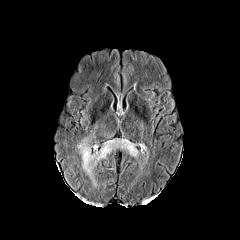
FLAIR magnetic resonance.
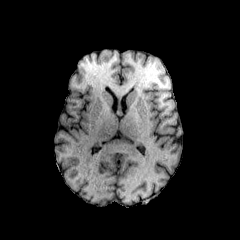
T1-weighted MR of the same slice.
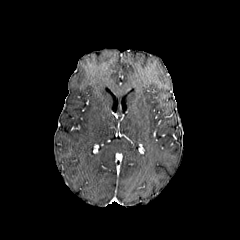
Same slice, post-contrast T1-weighted MR image.
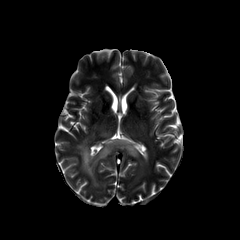
T2-weighted MR image of the same slice.
Brain
• peritumoral edema: (x1=77, y1=138, x2=138, y2=176)